Slice 67/155 | Axial slice | Brain
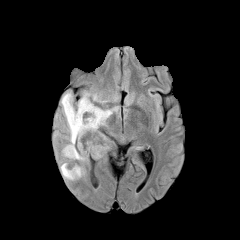
FLAIR MR image.
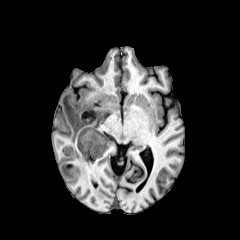
T1-weighted MRI.
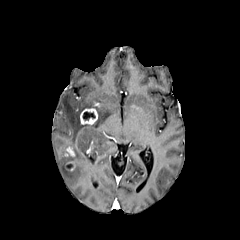
Post-contrast T1-weighted MR image.
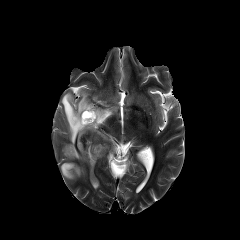
T2-weighted MR image.
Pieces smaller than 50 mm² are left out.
The 2 largest enhancing tumor regions are bounded by [x1=65, y1=146, x2=74, y2=156], [x1=80, y1=108, x2=97, y2=124]. 3 peritumoral edema regions are bounded by [x1=59, y1=161, x2=84, y2=180], [x1=61, y1=91, x2=117, y2=161], [x1=92, y1=94, x2=106, y2=103]. The largest necrotic tumor core region is at [x1=83, y1=111, x2=95, y2=120].